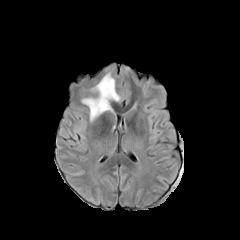
FLAIR MR.
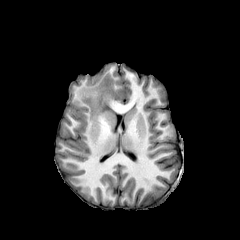
T1-weighted MR.
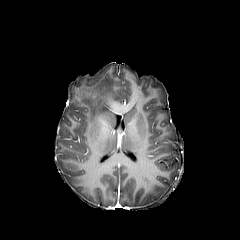
Post-contrast T1-weighted MR image.
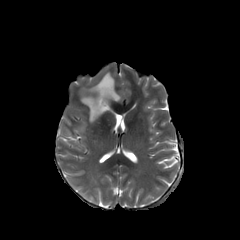
Same slice, T2-weighted MRI.
240x240 px
<segmentation>
  <peritumoral_edema>box(81, 72, 120, 121)</peritumoral_edema>
</segmentation>